FLAIR MRI.
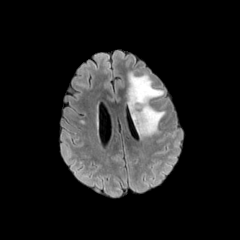
T1-weighted MR.
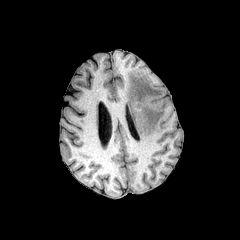
Post-contrast T1-weighted MR.
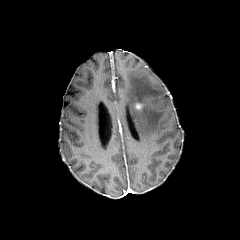
T2-weighted magnetic resonance.
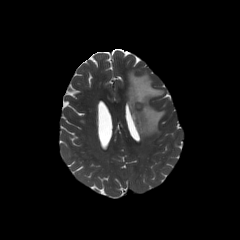
Brain; Axial slice
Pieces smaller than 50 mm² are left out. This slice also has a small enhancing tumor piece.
Annotated regions:
- peritumoral edema: box(127, 72, 165, 136)